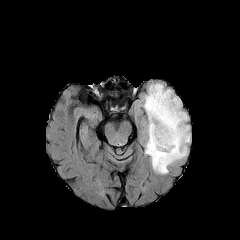
FLAIR MR image.
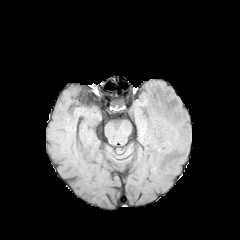
Same slice, T1-weighted MR image.
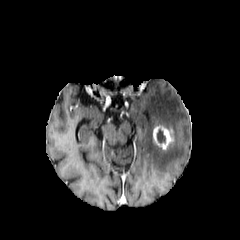
Same slice, post-contrast T1-weighted magnetic resonance.
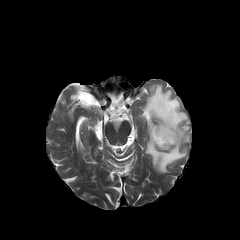
Same slice, T2-weighted MR.
Image size 240x240.
The necrotic tumor core is at (left=157, top=129, right=165, bottom=143). The enhancing tumor is located at (left=153, top=125, right=173, bottom=149). The peritumoral edema is located at (left=143, top=83, right=190, bottom=173).